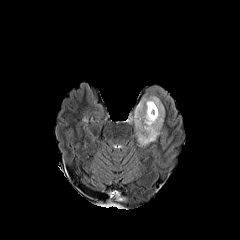
FLAIR MRI.
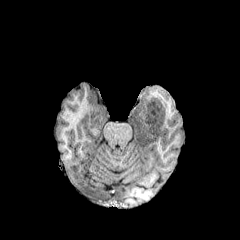
T1-weighted MRI.
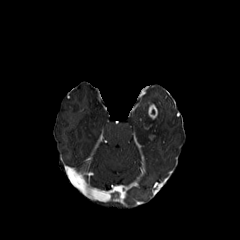
Post-contrast T1-weighted MR image.
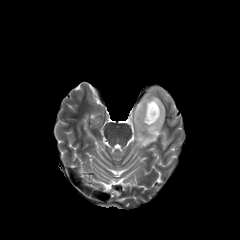
Same slice, T2-weighted MR image.
Brain
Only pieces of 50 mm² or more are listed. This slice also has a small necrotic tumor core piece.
<segmentation>
  <enhancing_tumor>bbox(148, 102, 158, 119)</enhancing_tumor>
  <peritumoral_edema>bbox(129, 93, 164, 145)</peritumoral_edema>
</segmentation>